Image size 240x240 | Brain
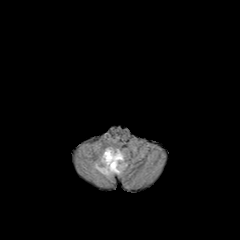
FLAIR magnetic resonance.
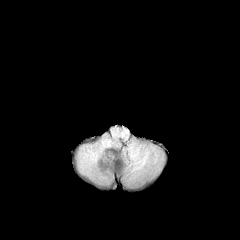
T1-weighted MR image.
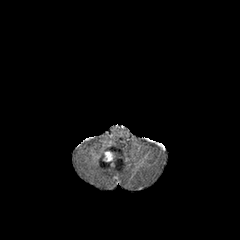
Post-contrast T1-weighted MR.
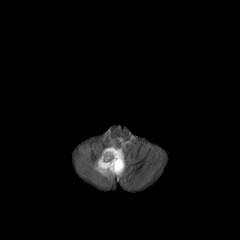
Same slice, T2-weighted magnetic resonance.
- enhancing tumor: (x1=103, y1=149, x2=120, y2=168)
- peritumoral edema: (x1=93, y1=147, x2=126, y2=178)